Image width 240 mm, Brain
FLAIR MRI.
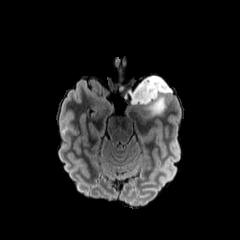
T1-weighted MR.
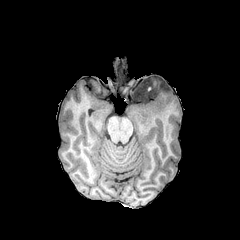
Post-contrast T1-weighted magnetic resonance.
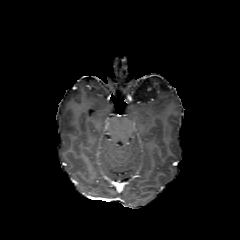
T2-weighted MRI.
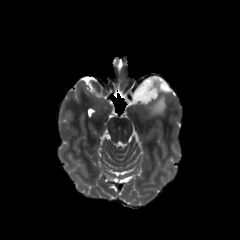
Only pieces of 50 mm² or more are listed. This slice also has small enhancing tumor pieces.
The peritumoral edema appears at [x1=128, y1=75, x2=171, y2=115].